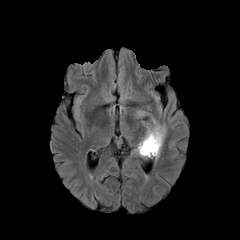
FLAIR MR image.
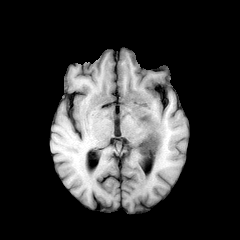
T1-weighted MRI of the same slice.
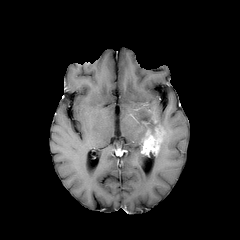
Post-contrast T1-weighted MRI.
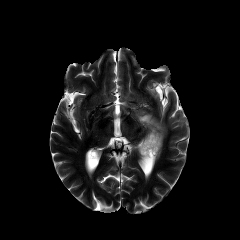
T2-weighted MR.
240x240; Head
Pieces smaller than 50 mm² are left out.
peritumoral edema at box=[135, 142, 147, 156]
necrotic tumor core at box=[146, 121, 157, 133]
enhancing tumor at box=[140, 118, 165, 156]